Brain; Image covers 240 mm x 240 mm; Slice 100/155
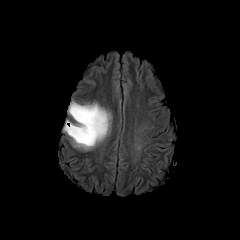
FLAIR MR image.
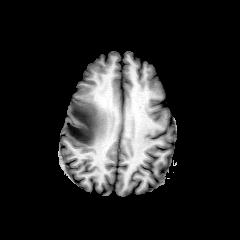
T1-weighted MRI of the same slice.
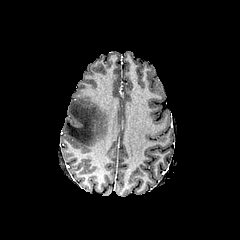
Post-contrast T1-weighted MR image.
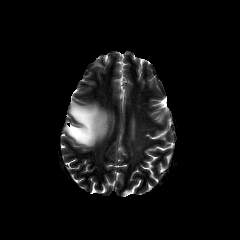
T2-weighted MR.
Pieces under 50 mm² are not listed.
The largest peritumoral edema region is at x1=64 y1=102 x2=110 y2=149.